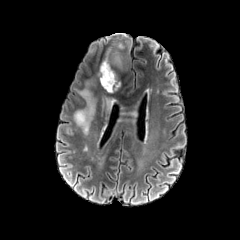
FLAIR MR.
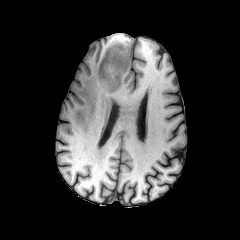
T1-weighted MR image.
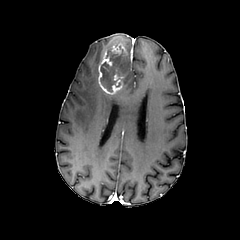
Post-contrast T1-weighted MRI.
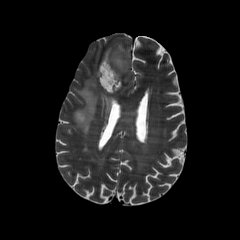
T2-weighted MR image.
Head; Axial slice
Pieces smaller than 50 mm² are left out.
The 3 largest peritumoral edema regions are bounded by box(106, 47, 127, 75); box(102, 93, 115, 112); box(74, 82, 96, 134). 2 enhancing tumor regions appear at box(111, 43, 126, 57); box(98, 51, 122, 94). The largest necrotic tumor core region appears at box(100, 62, 115, 91).